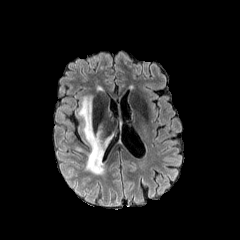
FLAIR MRI.
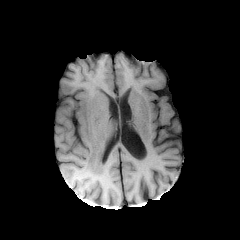
T1-weighted MR image.
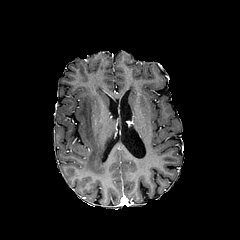
Same slice, post-contrast T1-weighted magnetic resonance.
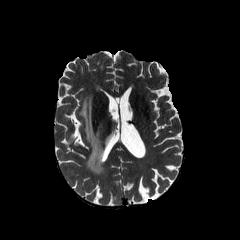
T2-weighted MRI.
Head.
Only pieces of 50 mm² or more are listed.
Segmented structures:
* peritumoral edema: <bbox>79, 95, 113, 174</bbox>